FLAIR MRI.
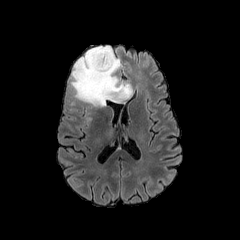
T1-weighted magnetic resonance.
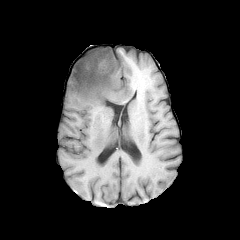
Post-contrast T1-weighted MR image.
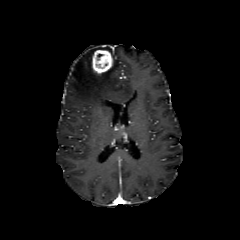
T2-weighted magnetic resonance.
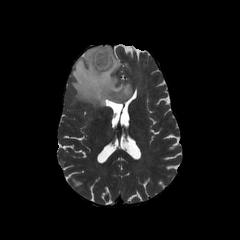
Head
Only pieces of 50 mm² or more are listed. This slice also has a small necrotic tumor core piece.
enhancing tumor at {"x1": 91, "y1": 50, "x2": 113, "y2": 74}
peritumoral edema at {"x1": 70, "y1": 46, "x2": 132, "y2": 107}